FLAIR MR image.
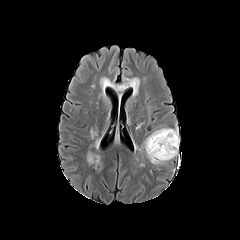
T1-weighted magnetic resonance.
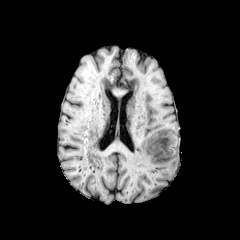
Post-contrast T1-weighted MRI.
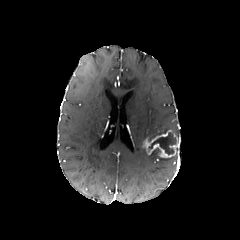
T2-weighted MRI.
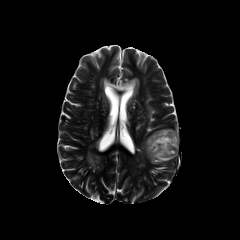
240x240
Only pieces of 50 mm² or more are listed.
{"peritumoral_edema": [{"x1": 146, "y1": 153, "x2": 173, "y2": 163}, {"x1": 149, "y1": 127, "x2": 178, "y2": 140}], "necrotic_tumor_core": [{"x1": 151, "y1": 148, "x2": 160, "y2": 156}, {"x1": 149, "y1": 132, "x2": 176, "y2": 154}], "enhancing_tumor": [{"x1": 142, "y1": 130, "x2": 179, "y2": 158}]}